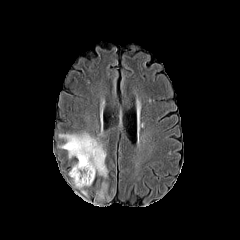
FLAIR MRI.
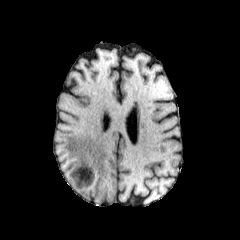
T1-weighted MR image.
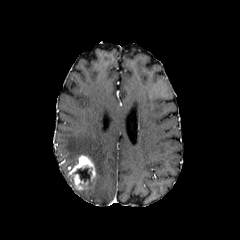
Same slice, post-contrast T1-weighted MR.
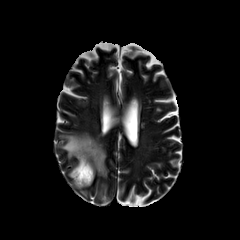
T2-weighted MR of the same slice.
240x240, Head
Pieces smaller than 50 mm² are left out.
The necrotic tumor core appears at bbox(75, 168, 92, 184). The enhancing tumor is at bbox(69, 155, 96, 189). The 2 largest peritumoral edema regions are located at bbox(59, 132, 108, 178); bbox(96, 182, 110, 199).